Brain. Axial view. 240x240.
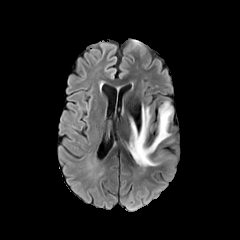
FLAIR MR.
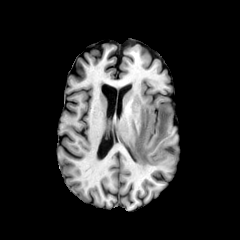
T1-weighted MRI of the same slice.
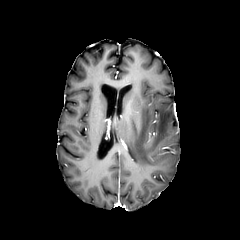
Post-contrast T1-weighted MR image of the same slice.
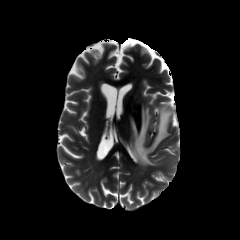
Same slice, T2-weighted MR image.
peritumoral edema: bounding box bbox(128, 101, 173, 167)